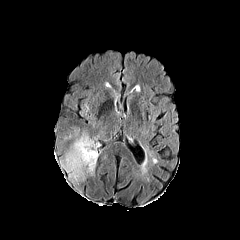
FLAIR MR image.
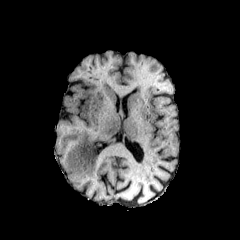
T1-weighted MRI.
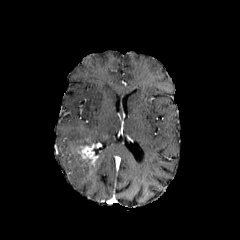
Post-contrast T1-weighted magnetic resonance.
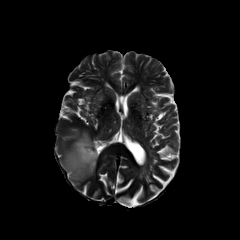
T2-weighted MR.
Axial plane, Brain
{
  "peritumoral_edema": [
    "[63,133,98,181]"
  ],
  "enhancing_tumor": [
    "[78,146,97,163]"
  ]
}